FLAIR MR image.
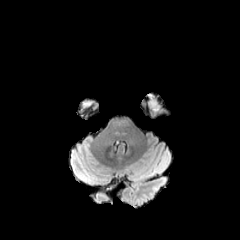
T1-weighted MRI.
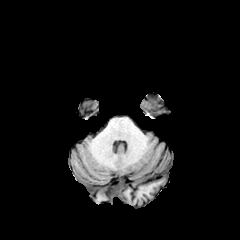
Post-contrast T1-weighted MRI.
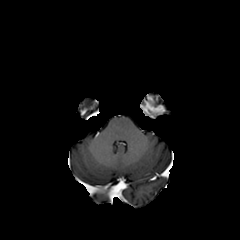
T2-weighted magnetic resonance.
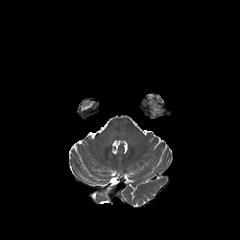
Head, Axial slice
Segmented structures:
* enhancing tumor: [x1=145, y1=96, x2=165, y2=118]
* peritumoral edema: [x1=144, y1=93, x2=159, y2=115]